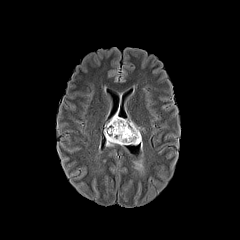
FLAIR MR image.
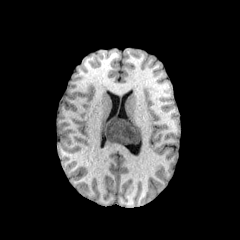
Same slice, T1-weighted MRI.
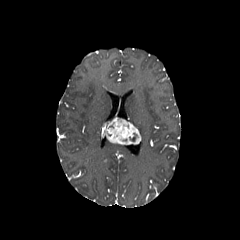
Same slice, post-contrast T1-weighted MRI.
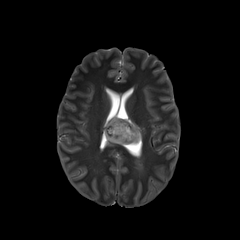
T2-weighted MR.
Image size 240x240, Axial view, Head
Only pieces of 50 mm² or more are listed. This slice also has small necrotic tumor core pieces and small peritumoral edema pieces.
enhancing tumor: box=[105, 116, 141, 144]